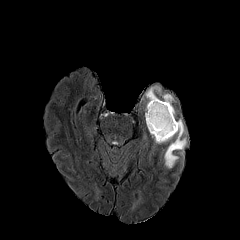
FLAIR MR.
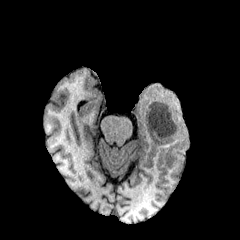
Same slice, T1-weighted MR.
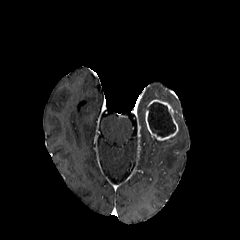
Same slice, post-contrast T1-weighted MR.
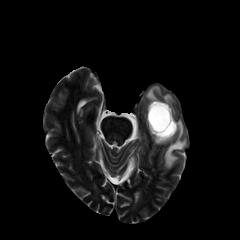
T2-weighted MRI.
240x240
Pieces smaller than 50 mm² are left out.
{"necrotic_tumor_core": ["left=147, top=102, right=175, bottom=137"], "peritumoral_edema": ["left=164, top=119, right=187, bottom=168", "left=145, top=85, right=174, bottom=110"], "enhancing_tumor": ["left=145, top=99, right=178, bottom=141"]}